FLAIR MRI.
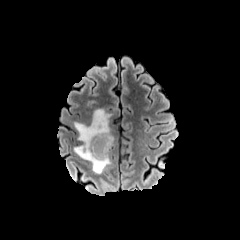
T1-weighted MR.
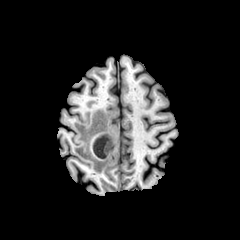
Post-contrast T1-weighted magnetic resonance.
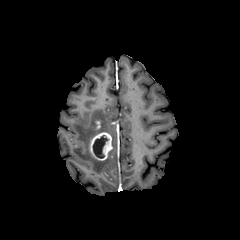
T2-weighted MR.
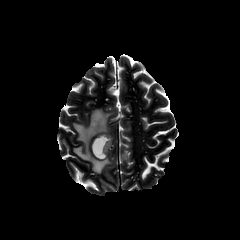
Axial view; Head
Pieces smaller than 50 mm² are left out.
enhancing tumor: bbox(90, 132, 112, 160)
peritumoral edema: bbox(73, 109, 111, 173)
necrotic tumor core: bbox(93, 135, 107, 158)